Slice index 92, Image covers 240 mm x 240 mm
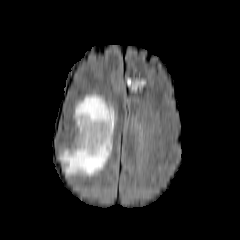
FLAIR magnetic resonance.
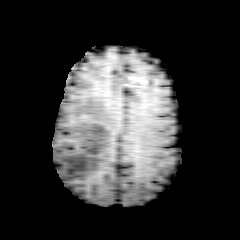
T1-weighted magnetic resonance.
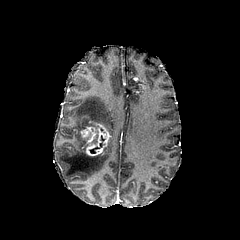
Post-contrast T1-weighted MR image.
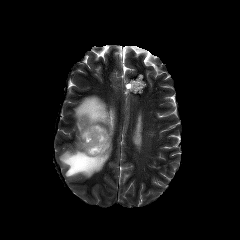
T2-weighted MR image.
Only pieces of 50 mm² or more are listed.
<segmentation>
  <necrotic_tumor_core>{"x1": 90, "y1": 135, "x2": 104, "y2": 153}</necrotic_tumor_core>
  <peritumoral_edema>{"x1": 60, "y1": 95, "x2": 115, "y2": 176}</peritumoral_edema>
  <enhancing_tumor>{"x1": 80, "y1": 121, "x2": 110, "y2": 156}</enhancing_tumor>
</segmentation>